FLAIR MR.
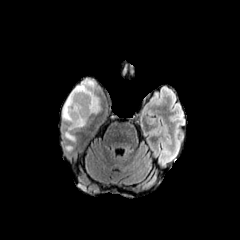
T1-weighted MR.
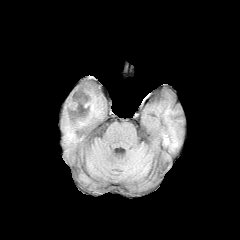
Post-contrast T1-weighted magnetic resonance.
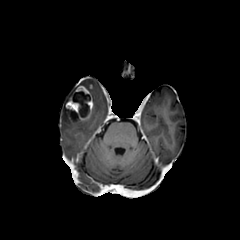
T2-weighted magnetic resonance.
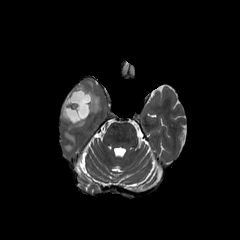
Head | Axial plane
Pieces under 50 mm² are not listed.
peritumoral_edema:
  - 62 79 101 129
  - 66 132 74 141
enhancing_tumor:
  - 65 85 93 122
necrotic_tumor_core:
  - 69 91 90 121